Slice 111 of 155 | Image size 240x240
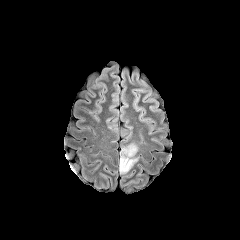
FLAIR MR image.
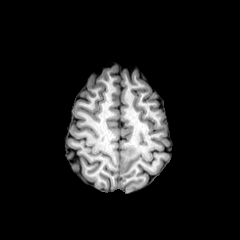
T1-weighted magnetic resonance of the same slice.
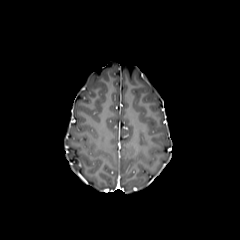
Post-contrast T1-weighted MRI of the same slice.
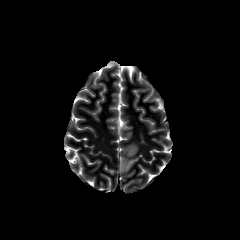
T2-weighted MR.
<segmentation>
  <peritumoral_edema>[x1=120, y1=142, x2=138, y2=173]</peritumoral_edema>
</segmentation>